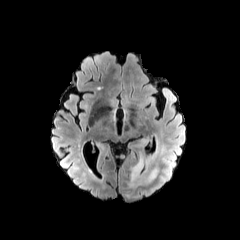
FLAIR MR.
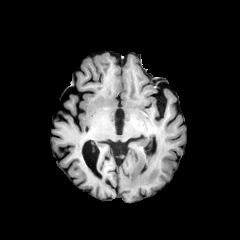
T1-weighted magnetic resonance of the same slice.
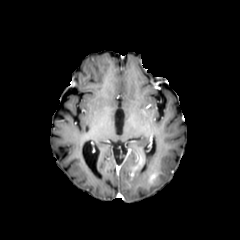
Same slice, post-contrast T1-weighted MRI.
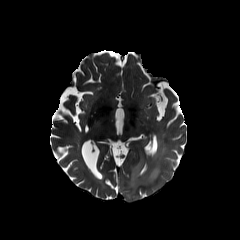
T2-weighted MR of the same slice.
Axial view, Brain
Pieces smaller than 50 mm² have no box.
Findings:
* enhancing tumor: {"x1": 128, "y1": 158, "x2": 142, "y2": 177}, {"x1": 148, "y1": 172, "x2": 157, "y2": 183}
* peritumoral edema: {"x1": 128, "y1": 151, "x2": 160, "y2": 190}